FLAIR MR image.
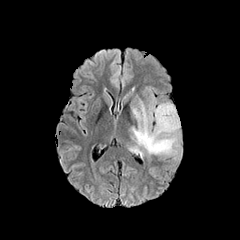
T1-weighted MRI.
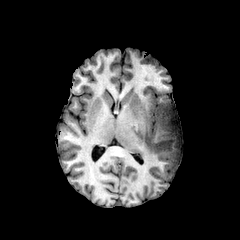
Post-contrast T1-weighted MR image.
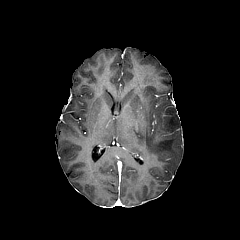
T2-weighted MRI.
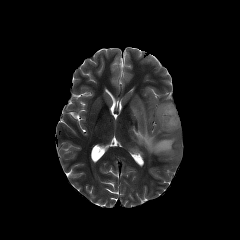
Head, 240x240 px
peritumoral edema: box(129, 99, 180, 155)